Image width 240 mm, 1.00 mm slice spacing. Slice 53/155.
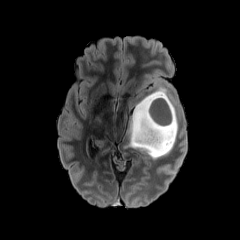
FLAIR MR.
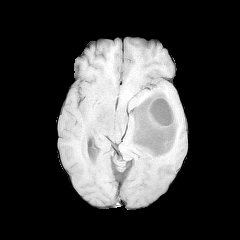
T1-weighted magnetic resonance.
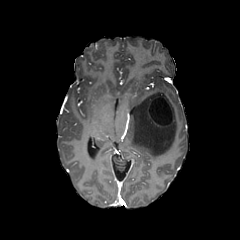
Post-contrast T1-weighted magnetic resonance.
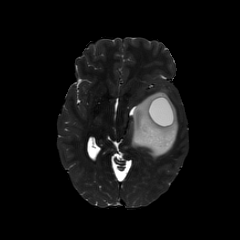
T2-weighted MR.
{"enhancing_tumor": ["x1=147 y1=95 x2=174 y2=126"], "peritumoral_edema": ["x1=128 y1=87 x2=178 y2=158"], "necrotic_tumor_core": ["x1=149 y1=97 x2=172 y2=124"]}